Axial view; Image width 240 mm, 1.00 mm slice spacing; 240x240 px
FLAIR MR image.
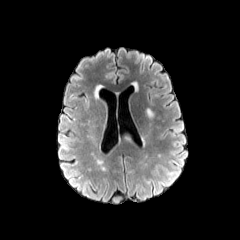
T1-weighted magnetic resonance.
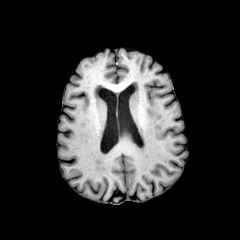
Post-contrast T1-weighted MR image.
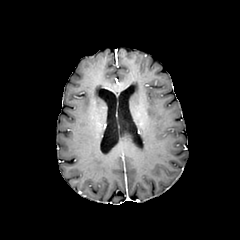
T2-weighted MRI.
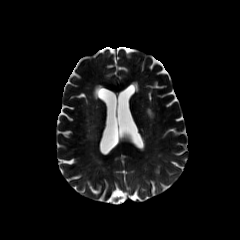
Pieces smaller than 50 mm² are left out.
The largest peritumoral edema region is at l=146, t=108, r=154, b=117.